Slice index 71; 240x240; Brain; Axial plane
FLAIR MR.
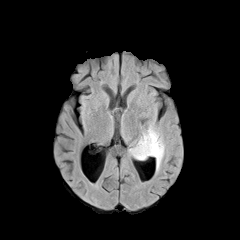
T1-weighted MRI.
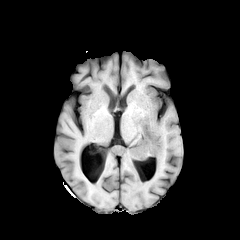
Post-contrast T1-weighted MRI.
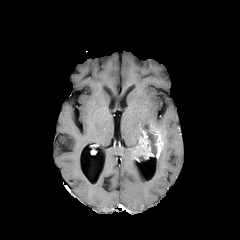
T2-weighted MR image.
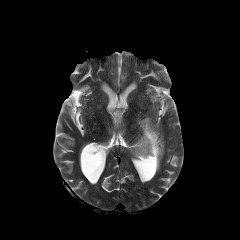
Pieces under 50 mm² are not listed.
enhancing tumor: bounding box (x1=132, y1=130, x2=154, y2=161), (x1=150, y1=125, x2=163, y2=158)
necrotic tumor core: bounding box (x1=145, y1=127, x2=156, y2=156)
peritumoral edema: bounding box (x1=141, y1=120, x2=161, y2=132), (x1=156, y1=141, x2=165, y2=171)